Brain, Axial plane
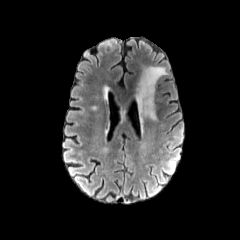
FLAIR magnetic resonance.
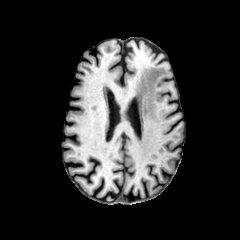
T1-weighted magnetic resonance.
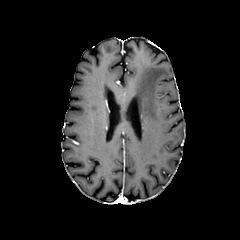
Post-contrast T1-weighted magnetic resonance.
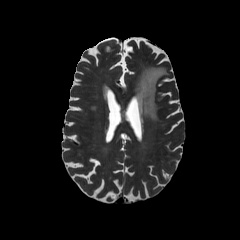
T2-weighted MRI of the same slice.
peritumoral edema at 136, 66, 168, 121